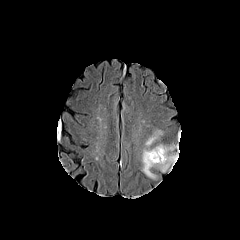
FLAIR MR.
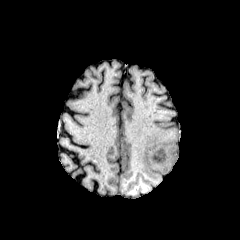
Same slice, T1-weighted MR.
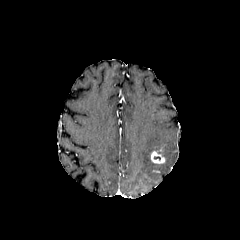
Post-contrast T1-weighted MRI.
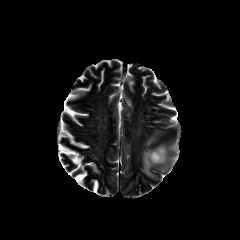
Same slice, T2-weighted MR.
Brain | Axial slice
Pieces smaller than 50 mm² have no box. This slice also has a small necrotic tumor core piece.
The 2 largest peritumoral edema regions are bounded by (left=145, top=131, right=160, bottom=146), (left=142, top=145, right=177, bottom=178). The enhancing tumor is at (left=150, top=149, right=165, bottom=163).